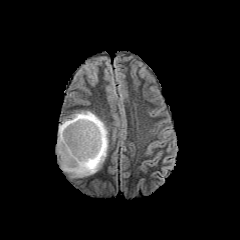
FLAIR MRI.
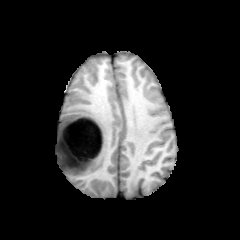
T1-weighted MR image.
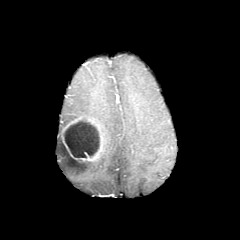
Post-contrast T1-weighted MR image.
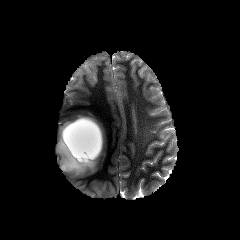
Same slice, T2-weighted magnetic resonance.
Head; Image size 240x240
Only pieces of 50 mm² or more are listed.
The peritumoral edema is located at (56,111,108,177). The necrotic tumor core lies within (61,118,100,159). The largest enhancing tumor region lies within (62,116,104,161).